FLAIR MRI.
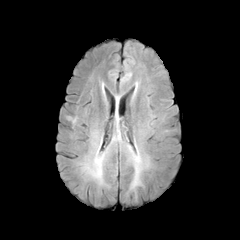
T1-weighted MRI.
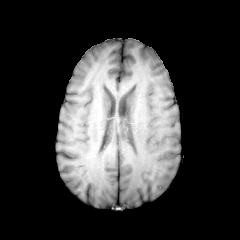
Post-contrast T1-weighted MR image.
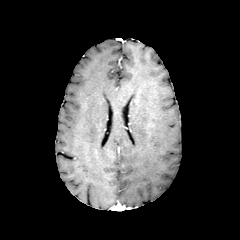
T2-weighted magnetic resonance.
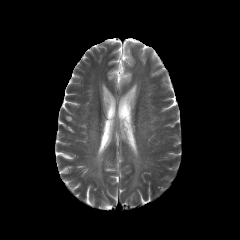
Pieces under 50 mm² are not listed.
The 2 largest peritumoral edema regions are bounded by 130 153 142 188, 92 156 103 178.